FLAIR MR.
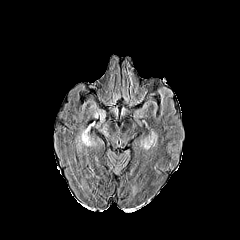
T1-weighted MRI.
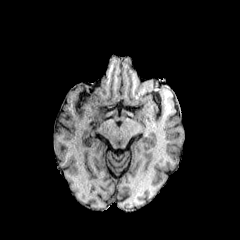
Post-contrast T1-weighted magnetic resonance.
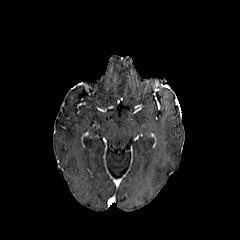
T2-weighted MR.
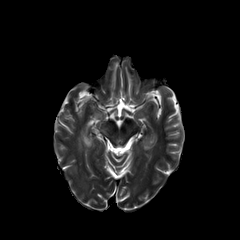
Brain
peritumoral edema: bbox(141, 142, 150, 149); bbox(78, 110, 104, 147)